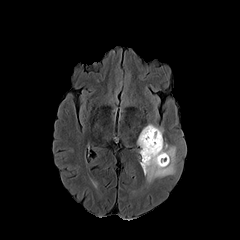
FLAIR MR image.
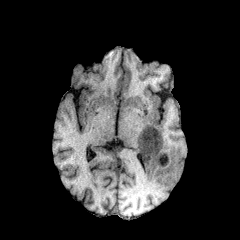
T1-weighted magnetic resonance.
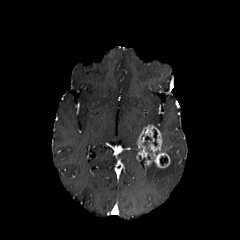
Same slice, post-contrast T1-weighted MR image.
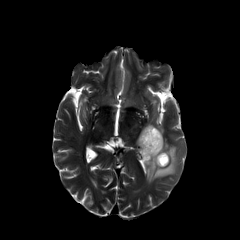
T2-weighted magnetic resonance.
Head
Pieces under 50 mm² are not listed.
* necrotic tumor core: [153,129,157,146], [160,156,167,165]
* peritumoral edema: [140,140,177,183]
* enhancing tumor: [137,125,170,170]